FLAIR MR image.
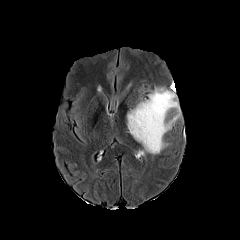
T1-weighted MRI.
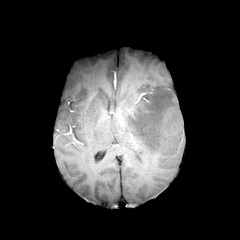
Post-contrast T1-weighted magnetic resonance.
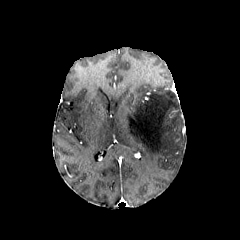
T2-weighted MRI.
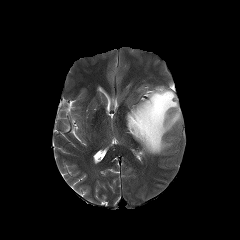
Image size 240x240 | Axial view
peritumoral edema — (x1=127, y1=87, x2=180, y2=155)